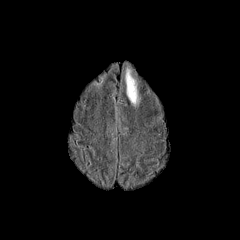
FLAIR magnetic resonance.
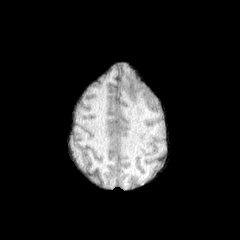
T1-weighted MR of the same slice.
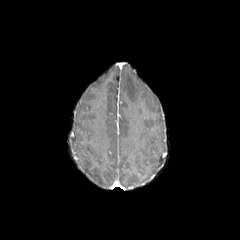
Post-contrast T1-weighted MR of the same slice.
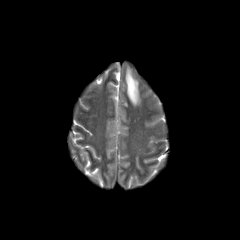
T2-weighted MRI of the same slice.
Axial slice; Brain
peritumoral edema: [125, 66, 139, 105]